FLAIR MR image.
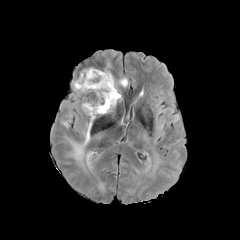
T1-weighted magnetic resonance.
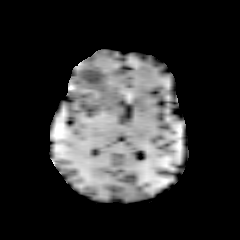
Post-contrast T1-weighted MR.
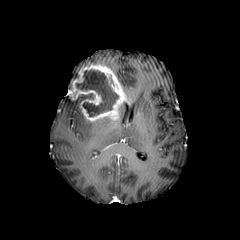
T2-weighted MR.
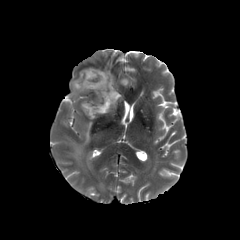
Image size 240x240, Brain
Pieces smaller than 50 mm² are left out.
enhancing tumor at region(68, 64, 126, 122)
necrotic tumor core at region(76, 70, 118, 116)
peritumoral edema at region(86, 152, 92, 167); region(67, 122, 92, 164); region(120, 78, 128, 86)